240x240
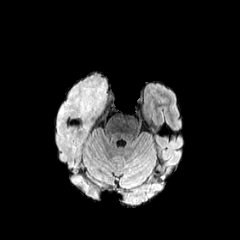
FLAIR MR.
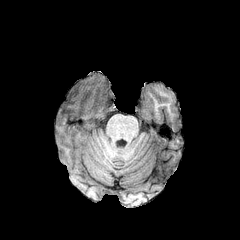
T1-weighted MR image.
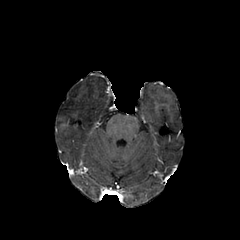
Same slice, post-contrast T1-weighted MR.
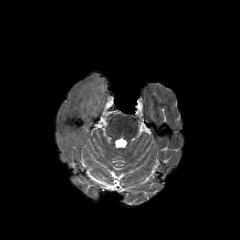
Same slice, T2-weighted MR.
peritumoral_edema:
  - [x1=56, y1=73, x2=109, y2=124]